Slice 130/155
FLAIR MRI.
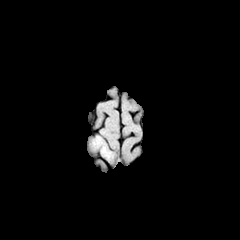
T1-weighted magnetic resonance.
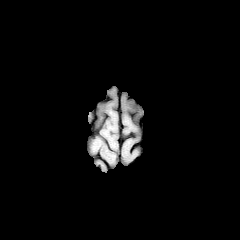
Post-contrast T1-weighted magnetic resonance.
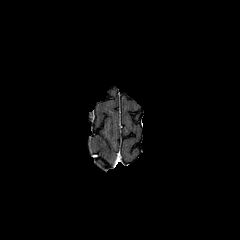
T2-weighted MRI.
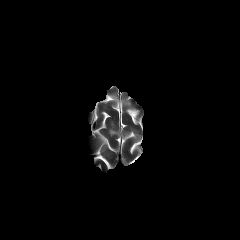
peritumoral edema at box=[88, 134, 114, 164]